Head | 240x240 px
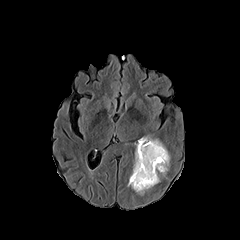
FLAIR magnetic resonance.
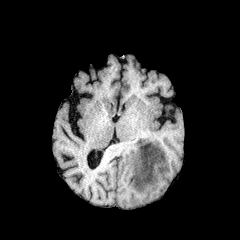
T1-weighted MR of the same slice.
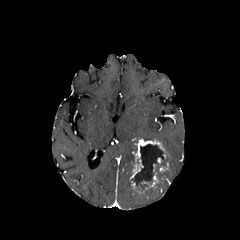
Post-contrast T1-weighted MR.
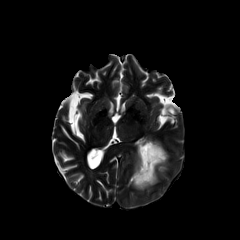
Same slice, T2-weighted MR.
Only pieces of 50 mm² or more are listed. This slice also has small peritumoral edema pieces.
enhancing tumor: [131, 181, 141, 192], [141, 163, 158, 189], [159, 162, 168, 172], [130, 139, 166, 180] | necrotic tumor core: [131, 144, 166, 190]